Slice 74 of 155.
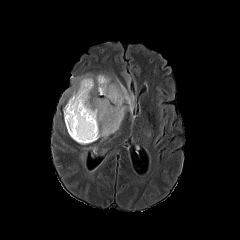
FLAIR magnetic resonance.
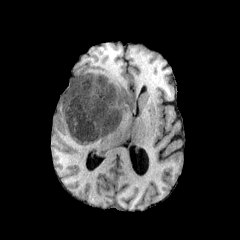
T1-weighted MR of the same slice.
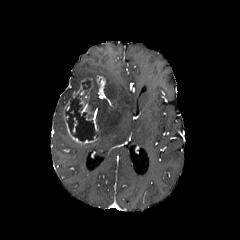
Post-contrast T1-weighted magnetic resonance.
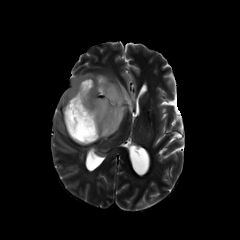
T2-weighted magnetic resonance of the same slice.
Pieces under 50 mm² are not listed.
<segmentation>
  <enhancing_tumor>[63, 75, 105, 144]</enhancing_tumor>
  <peritumoral_edema>[90, 74, 135, 139], [64, 73, 95, 101]</peritumoral_edema>
  <necrotic_tumor_core>[65, 79, 96, 141]</necrotic_tumor_core>
</segmentation>